FLAIR MR.
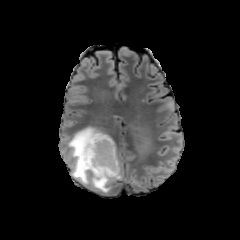
T1-weighted MR.
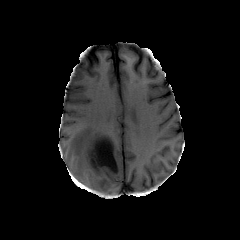
Post-contrast T1-weighted MR image.
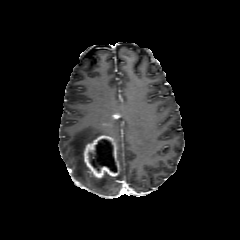
T2-weighted MR image.
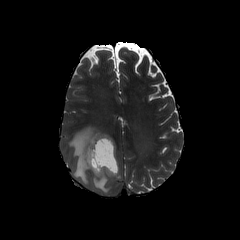
Head
necrotic tumor core = <bbox>91, 139, 117, 172</bbox>
peritumoral edema = <bbox>67, 126, 121, 193</bbox>
enhancing tumor = <bbox>84, 135, 119, 178</bbox>